FLAIR MR.
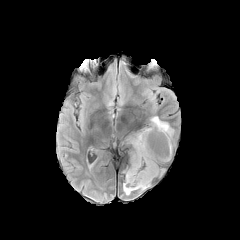
T1-weighted MR image.
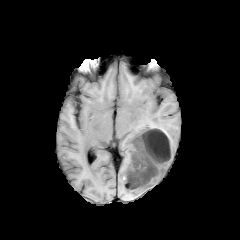
Post-contrast T1-weighted magnetic resonance.
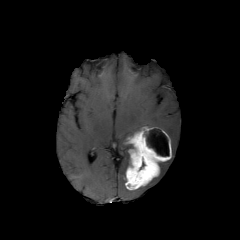
T2-weighted MR.
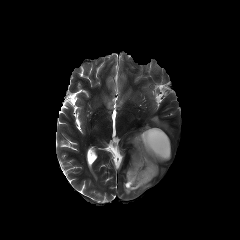
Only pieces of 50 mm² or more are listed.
• peritumoral edema: (left=151, top=116, right=172, bottom=137), (left=139, top=182, right=150, bottom=191), (left=123, top=183, right=131, bottom=195)
• enhancing tumor: (left=125, top=125, right=171, bottom=190)
• necrotic tumor core: (left=146, top=128, right=169, bottom=156)